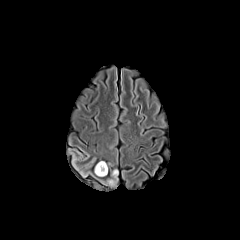
FLAIR MR image.
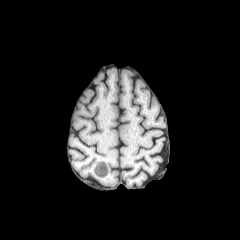
T1-weighted magnetic resonance.
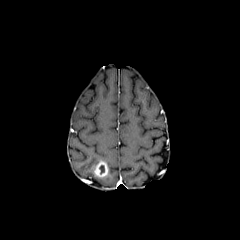
Post-contrast T1-weighted MR image.
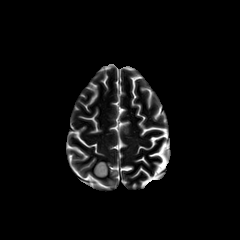
T2-weighted magnetic resonance of the same slice.
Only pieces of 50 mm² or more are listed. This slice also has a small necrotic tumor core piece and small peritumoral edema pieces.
enhancing_tumor:
  - (94, 161, 108, 177)